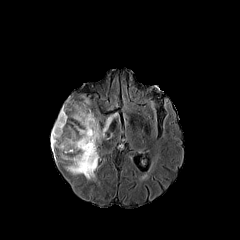
FLAIR MR.
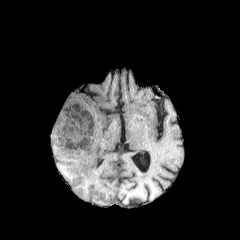
T1-weighted MRI.
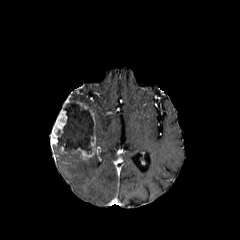
Post-contrast T1-weighted MR.
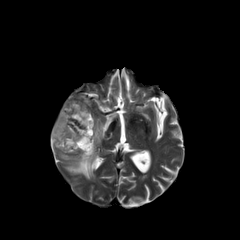
Same slice, T2-weighted MR.
240x240 px. Brain.
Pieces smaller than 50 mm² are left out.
{
  "enhancing_tumor": [
    "(x1=71, y1=132, x2=98, y2=160)",
    "(x1=50, y1=98, x2=70, y2=147)"
  ],
  "peritumoral_edema": [
    "(x1=60, y1=154, x2=97, y2=179)",
    "(x1=95, y1=114, x2=115, y2=144)"
  ],
  "necrotic_tumor_core": [
    "(x1=57, y1=100, x2=95, y2=153)"
  ]
}